FLAIR magnetic resonance.
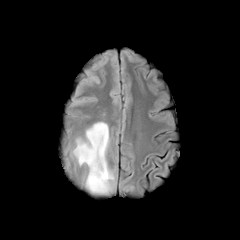
T1-weighted magnetic resonance.
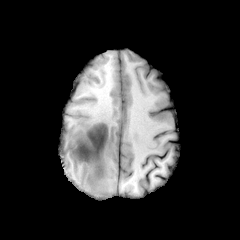
Post-contrast T1-weighted magnetic resonance.
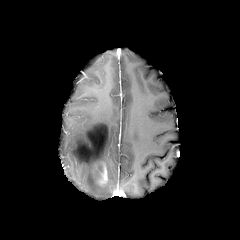
T2-weighted MR.
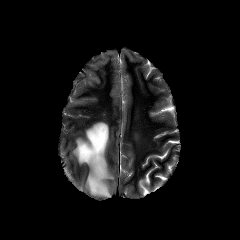
Image size 240x240
peritumoral edema: bbox=[72, 122, 114, 194]
enhancing tumor: bbox=[94, 161, 107, 183]